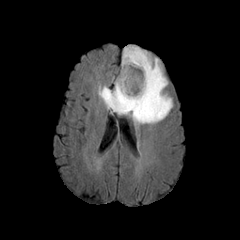
FLAIR MR image.
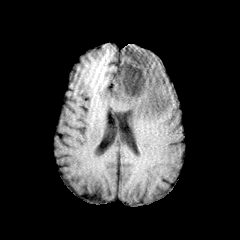
T1-weighted MRI.
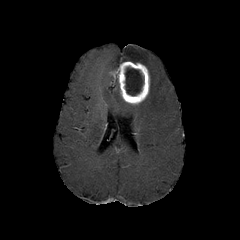
Same slice, post-contrast T1-weighted MR.
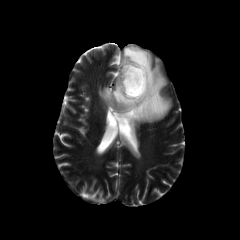
Same slice, T2-weighted MR image.
<segmentation>
  <peritumoral_edema>x1=98 y1=45 x2=172 y2=126</peritumoral_edema>
  <necrotic_tumor_core>x1=125 y1=67 x2=143 y2=95</necrotic_tumor_core>
  <enhancing_tumor>x1=113 y1=61 x2=150 y2=104</enhancing_tumor>
</segmentation>